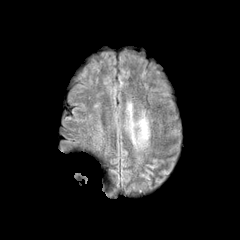
FLAIR MR.
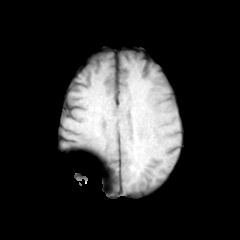
Same slice, T1-weighted magnetic resonance.
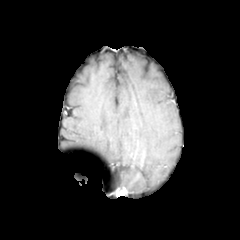
Same slice, post-contrast T1-weighted MR.
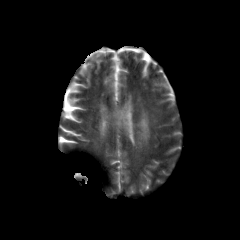
T2-weighted magnetic resonance.
Axial plane
The peritumoral edema is at [126, 116, 148, 144].